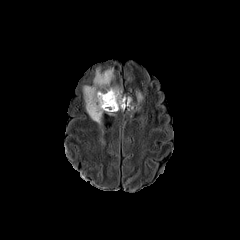
FLAIR MRI.
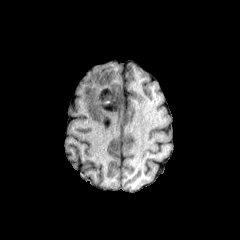
Same slice, T1-weighted MRI.
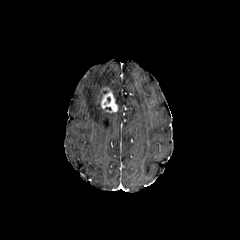
Post-contrast T1-weighted MR of the same slice.
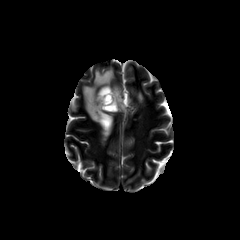
T2-weighted MR.
Brain. Axial plane.
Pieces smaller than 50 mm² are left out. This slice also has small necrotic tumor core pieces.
peritumoral edema: bounding box (x1=83, y1=68, x2=133, y2=124)
enhancing tumor: bounding box (x1=100, y1=87, x2=117, y2=112)